Slice 38/155, Image size 240x240
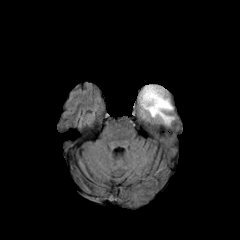
FLAIR MR image.
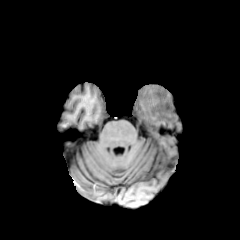
T1-weighted magnetic resonance.
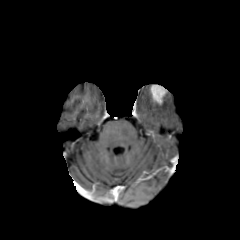
Same slice, post-contrast T1-weighted MR.
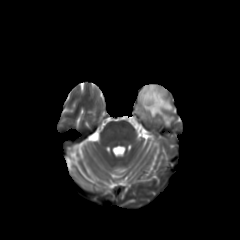
Same slice, T2-weighted MR image.
The peritumoral edema lies within (x1=136, y1=85, x2=175, y2=123). The enhancing tumor is at (x1=150, y1=84, x2=167, y2=102).